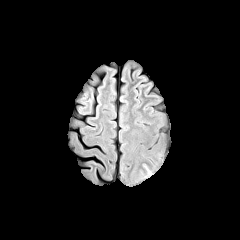
FLAIR MR image.
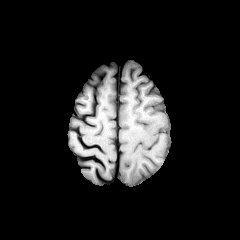
Same slice, T1-weighted MR.
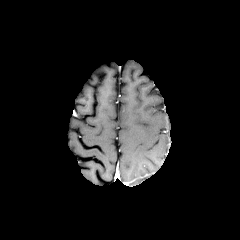
Post-contrast T1-weighted MR.
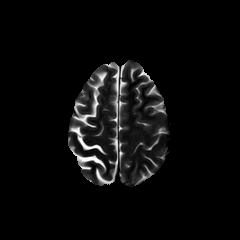
T2-weighted MR image of the same slice.
240x240 px
peritumoral_edema:
  - x1=141, y1=163, x2=156, y2=178